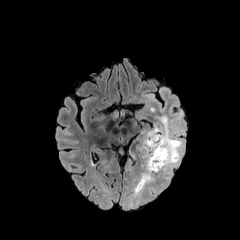
FLAIR MR.
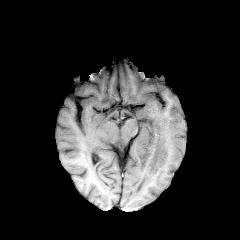
Same slice, T1-weighted MR.
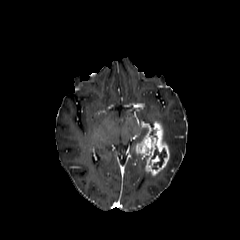
Post-contrast T1-weighted MRI of the same slice.
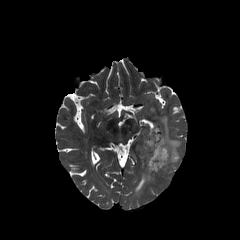
T2-weighted MR image of the same slice.
Image size 240x240. Brain. Axial view.
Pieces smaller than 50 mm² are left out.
The enhancing tumor lies within 136, 121, 169, 175. The largest necrotic tumor core region is at 151, 147, 166, 169. The 2 largest peritumoral edema regions are bounded by 133, 169, 155, 192; 154, 115, 184, 178.